Brain; Slice 78/155; 240x240
FLAIR MR image.
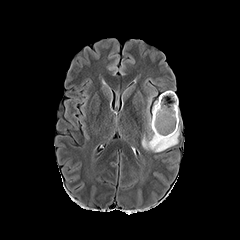
T1-weighted MR.
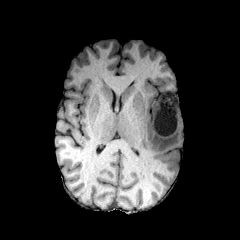
Post-contrast T1-weighted MR image.
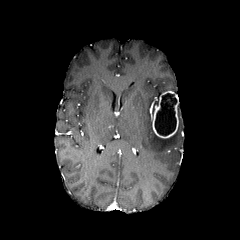
T2-weighted magnetic resonance.
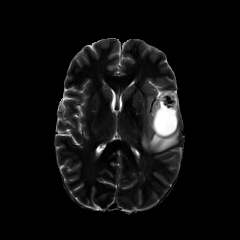
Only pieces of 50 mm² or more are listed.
• enhancing tumor: rect(151, 94, 178, 138)
• peritumoral edema: rect(142, 96, 180, 152)
• necrotic tumor core: rect(155, 93, 177, 135)